Image width 240 mm, Slice index 96, Head, Axial plane, 240x240
FLAIR MR.
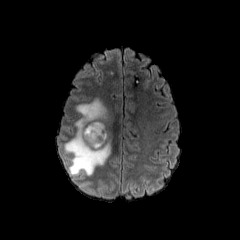
T1-weighted MR.
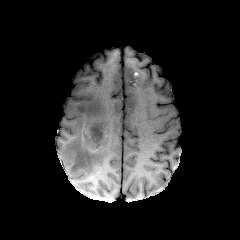
Post-contrast T1-weighted magnetic resonance.
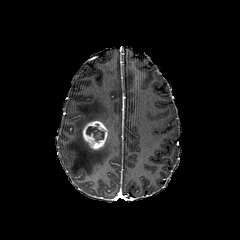
T2-weighted MR image.
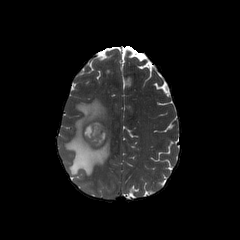
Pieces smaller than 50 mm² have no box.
necrotic tumor core: [86, 126, 104, 140] | peritumoral edema: [64, 97, 116, 175] | enhancing tumor: [82, 120, 108, 149]